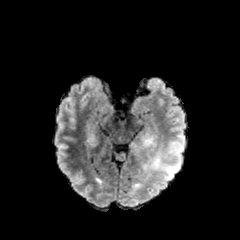
FLAIR magnetic resonance.
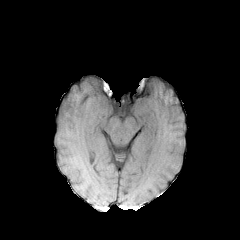
T1-weighted MR.
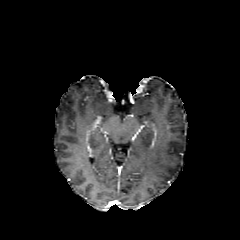
Same slice, post-contrast T1-weighted MR image.
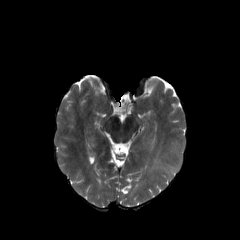
Same slice, T2-weighted MRI.
Brain; Axial plane
<segmentation>
  <peritumoral_edema>box=[144, 143, 184, 182]</peritumoral_edema>
</segmentation>